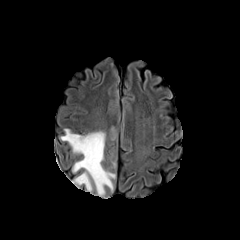
FLAIR MR image.
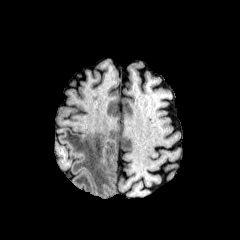
T1-weighted MR.
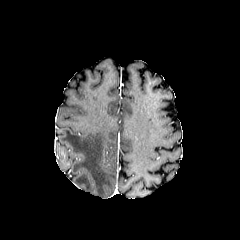
Post-contrast T1-weighted MRI of the same slice.
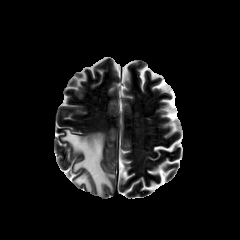
T2-weighted MRI.
Axial slice; Image size 240x240
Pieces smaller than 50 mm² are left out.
<segmentation>
  <peritumoral_edema>{"x1": 61, "y1": 129, "x2": 115, "y2": 196}</peritumoral_edema>
</segmentation>